FLAIR magnetic resonance.
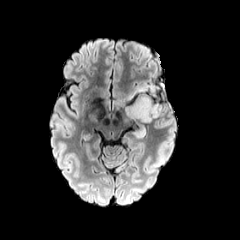
T1-weighted MR.
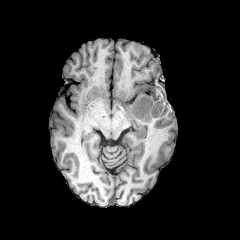
Post-contrast T1-weighted MR image.
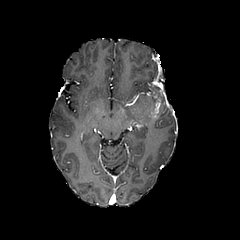
T2-weighted magnetic resonance.
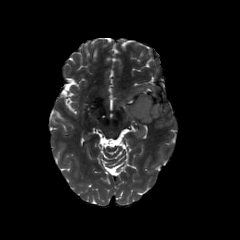
Brain.
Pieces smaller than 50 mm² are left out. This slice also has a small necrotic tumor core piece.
2 peritumoral edema regions are located at (124, 89, 152, 123), (133, 125, 145, 139). The enhancing tumor lies within (133, 98, 161, 118).